FLAIR magnetic resonance.
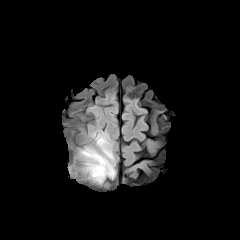
T1-weighted MR.
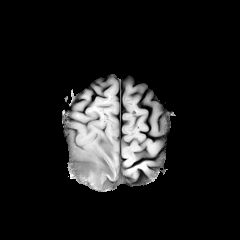
Post-contrast T1-weighted MR image.
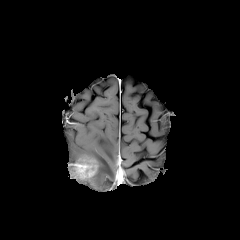
T2-weighted magnetic resonance.
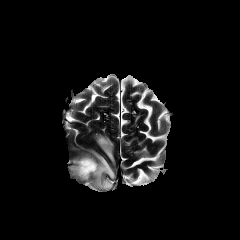
240x240 px
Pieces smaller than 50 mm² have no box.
enhancing tumor: <bbox>73, 153, 106, 178</bbox> | peritumoral edema: <bbox>80, 133, 115, 184</bbox>